Axial view. Slice index 103. 240x240.
FLAIR MR image.
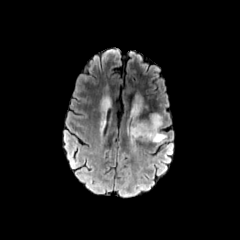
T1-weighted MR image.
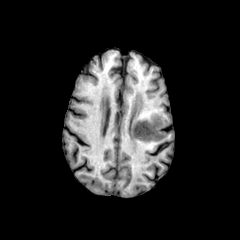
Post-contrast T1-weighted magnetic resonance.
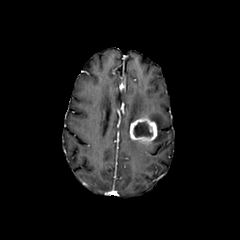
T2-weighted magnetic resonance.
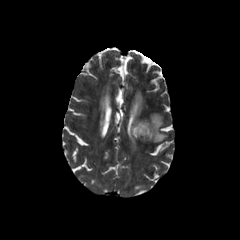
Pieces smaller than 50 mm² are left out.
The necrotic tumor core is located at 134,122,152,137. The 2 largest peritumoral edema regions are located at 131,96,142,122; 149,113,166,142. The enhancing tumor is at 129,115,157,144.